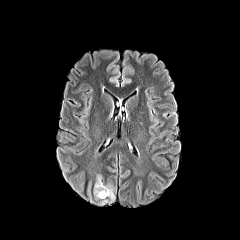
FLAIR MR.
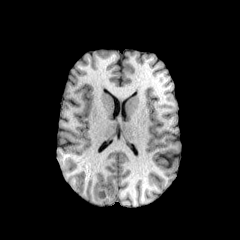
T1-weighted MR.
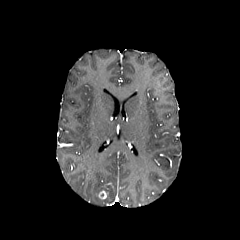
Post-contrast T1-weighted magnetic resonance.
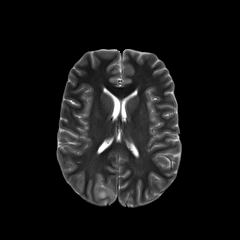
T2-weighted MR.
Head; Axial plane
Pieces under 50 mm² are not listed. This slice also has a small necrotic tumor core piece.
Annotated regions:
• enhancing tumor: rect(98, 190, 108, 199)
• peritumoral edema: rect(94, 175, 114, 204)